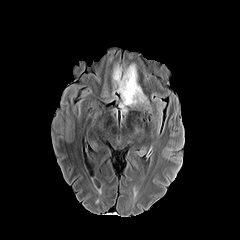
FLAIR MRI.
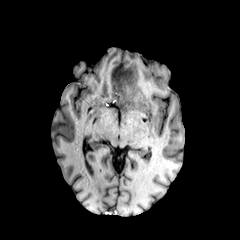
T1-weighted MRI of the same slice.
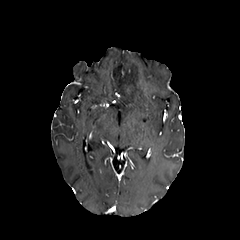
Post-contrast T1-weighted MR.
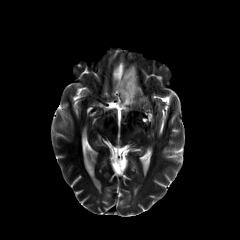
T2-weighted MRI of the same slice.
240x240. Axial view. Brain.
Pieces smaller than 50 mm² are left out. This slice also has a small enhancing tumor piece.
{
  "peritumoral_edema": [
    "l=112, t=62, r=150, b=113"
  ]
}